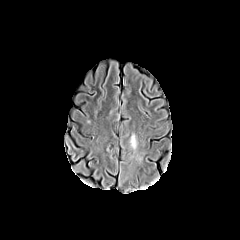
FLAIR MRI.
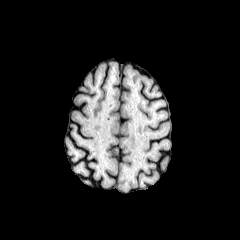
T1-weighted MR image.
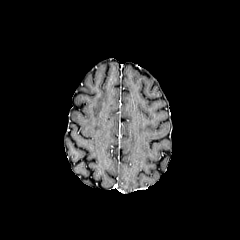
Post-contrast T1-weighted MR.
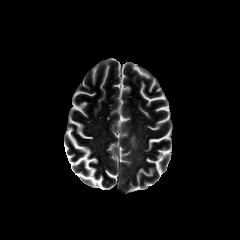
Same slice, T2-weighted MR.
Axial view. 240x240 px. Head.
peritumoral edema: (x1=130, y1=135, x2=136, y2=148)